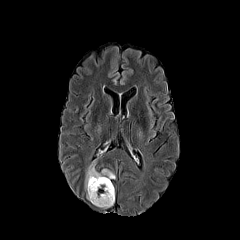
FLAIR magnetic resonance.
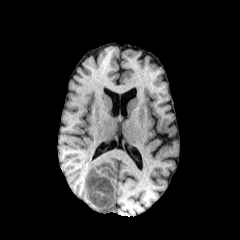
T1-weighted magnetic resonance.
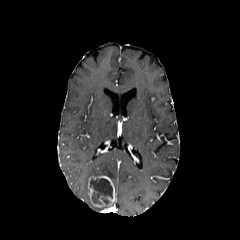
Same slice, post-contrast T1-weighted MR image.
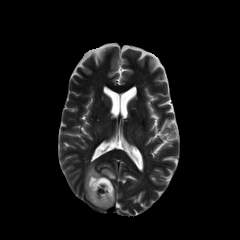
T2-weighted magnetic resonance of the same slice.
Head; 240x240 px
<segmentation>
  <necrotic_tumor_core><box>90,178,112,204</box></necrotic_tumor_core>
  <peritumoral_edema><box>84,163,115,200</box></peritumoral_edema>
  <enhancing_tumor><box>87,176,114,208</box></enhancing_tumor>
</segmentation>